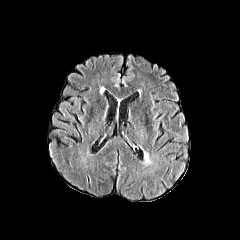
FLAIR MRI.
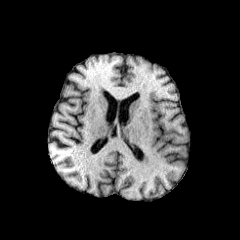
T1-weighted MR.
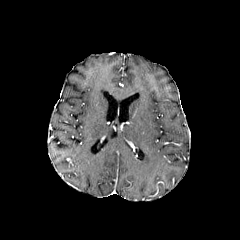
Post-contrast T1-weighted MR.
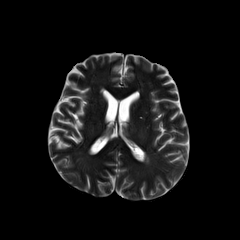
Same slice, T2-weighted magnetic resonance.
Axial slice.
peritumoral edema: bbox(143, 150, 150, 165)